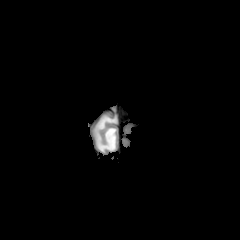
FLAIR MR.
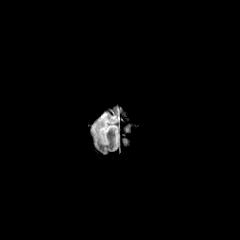
T1-weighted MRI.
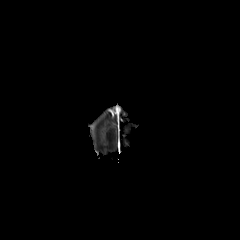
Post-contrast T1-weighted magnetic resonance.
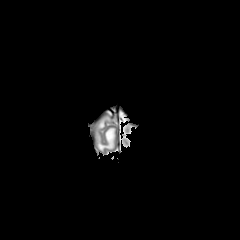
T2-weighted MRI.
Image size 240x240 | Brain
Segmented structures:
• peritumoral edema: [94,115,116,152]